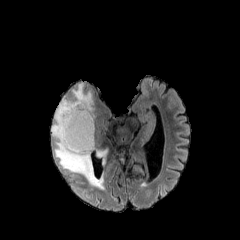
FLAIR MR.
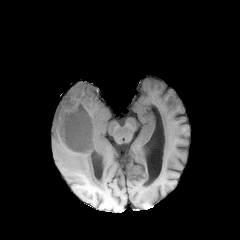
T1-weighted MRI.
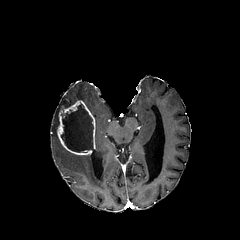
Post-contrast T1-weighted MR of the same slice.
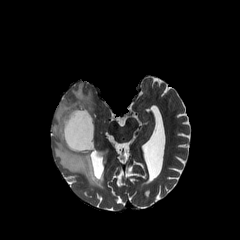
T2-weighted MR image.
Brain
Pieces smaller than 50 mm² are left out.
enhancing tumor — 57 100 95 155
peritumoral edema — 94 148 108 165, 51 83 104 189
necrotic tumor core — 61 103 93 152